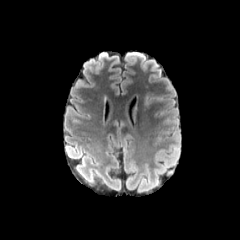
FLAIR magnetic resonance.
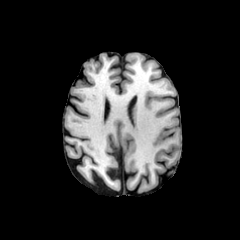
T1-weighted magnetic resonance.
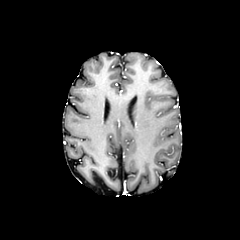
Post-contrast T1-weighted MR.
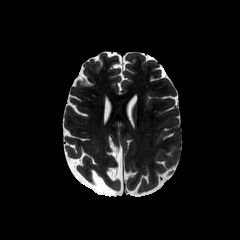
Same slice, T2-weighted MRI.
Image size 240x240. Head.
peritumoral edema — box(144, 92, 151, 108)